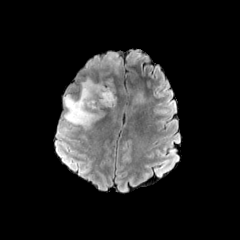
FLAIR MR.
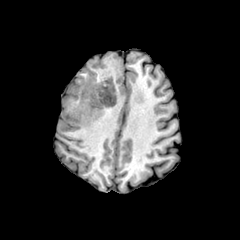
Same slice, T1-weighted magnetic resonance.
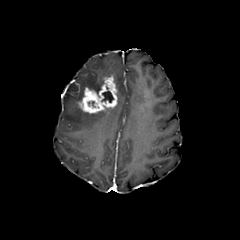
Post-contrast T1-weighted MR image.
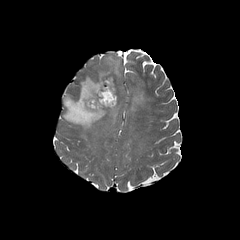
T2-weighted MRI.
Image size 240x240. Brain.
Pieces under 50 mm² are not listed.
enhancing_tumor:
  - bbox=[73, 76, 117, 114]
peritumoral_edema:
  - bbox=[133, 90, 145, 103]
  - bbox=[63, 53, 120, 130]
necrotic_tumor_core:
  - bbox=[102, 91, 113, 102]